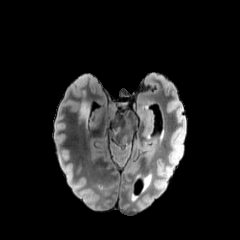
FLAIR magnetic resonance.
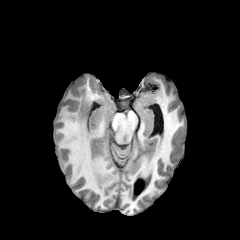
Same slice, T1-weighted MRI.
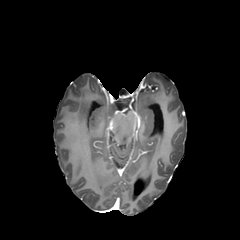
Post-contrast T1-weighted magnetic resonance.
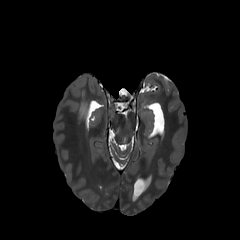
T2-weighted MR image.
Axial plane, Brain
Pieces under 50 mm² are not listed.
<segmentation>
  <peritumoral_edema>rect(80, 102, 88, 117)</peritumoral_edema>
</segmentation>